Image width 240 mm
FLAIR MR.
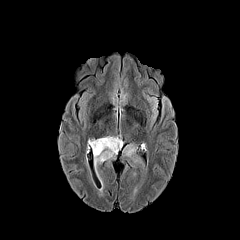
T1-weighted MRI.
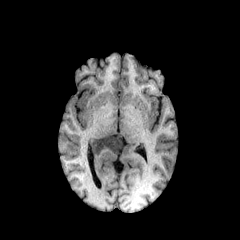
Post-contrast T1-weighted MRI.
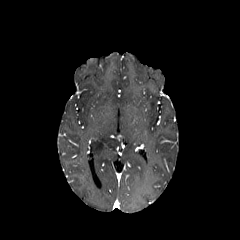
T2-weighted magnetic resonance.
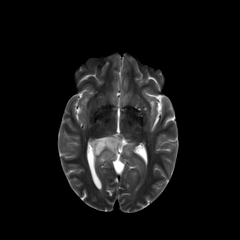
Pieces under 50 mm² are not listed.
<segmentation>
  <peritumoral_edema>124 145 144 166, 89 137 120 172</peritumoral_edema>
</segmentation>